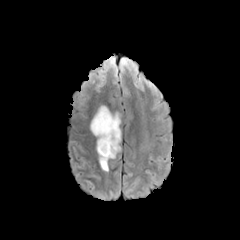
FLAIR MR image.
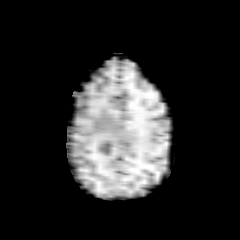
T1-weighted magnetic resonance of the same slice.
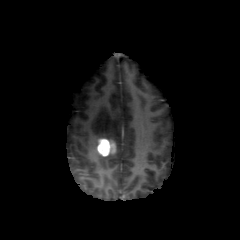
Post-contrast T1-weighted magnetic resonance of the same slice.
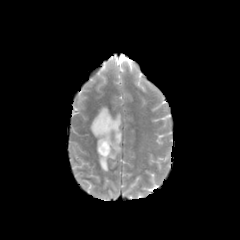
T2-weighted MRI.
Brain, Axial view
* enhancing tumor: left=98, top=138, right=115, bottom=156
* peritumoral edema: left=90, top=106, right=121, bottom=171